Image size 240x240, Image width 240 mm, Axial slice
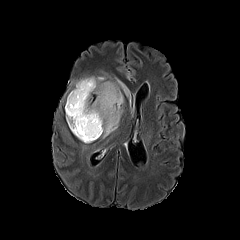
FLAIR MR image.
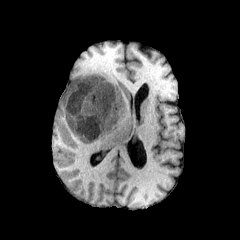
T1-weighted MR.
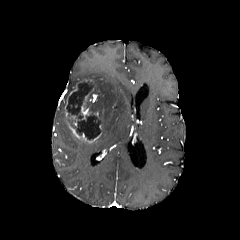
Post-contrast T1-weighted magnetic resonance.
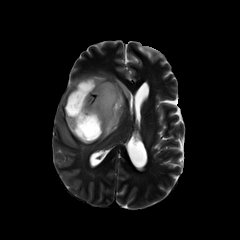
T2-weighted MR image.
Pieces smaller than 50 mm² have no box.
The necrotic tumor core is at 67, 81, 101, 139. The peritumoral edema is located at 70, 75, 130, 139. The 2 largest enhancing tumor regions appear at 65, 85, 102, 143; 80, 88, 101, 122.